Brain.
FLAIR MRI.
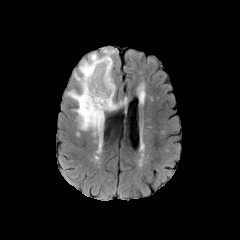
T1-weighted magnetic resonance.
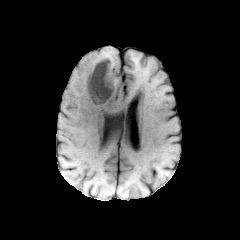
Post-contrast T1-weighted MR.
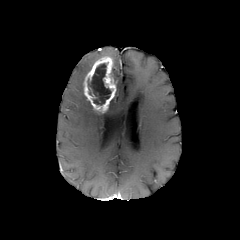
T2-weighted MR.
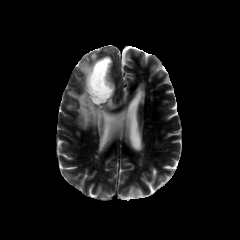
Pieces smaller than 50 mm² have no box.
enhancing_tumor:
  - 83 56 116 113
peritumoral_edema:
  - 107 97 127 111
  - 66 48 115 152
necrotic_tumor_core:
  - 88 63 111 104